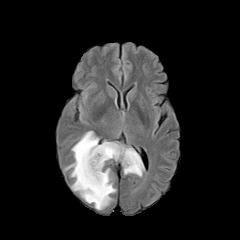
FLAIR magnetic resonance.
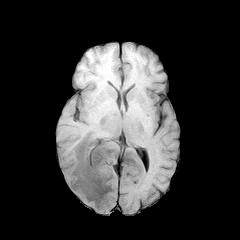
Same slice, T1-weighted MR.
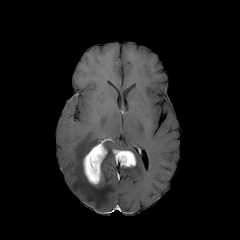
Post-contrast T1-weighted MR.
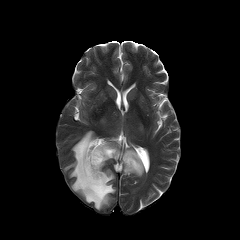
Same slice, T2-weighted magnetic resonance.
Head, Axial plane
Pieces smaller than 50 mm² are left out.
peritumoral edema: [65, 131, 144, 209] | necrotic tumor core: [90, 156, 100, 167] | enhancing tumor: [112, 149, 136, 167], [83, 142, 107, 186]